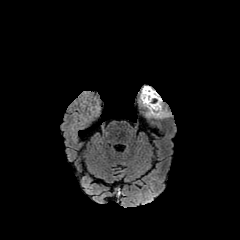
FLAIR MR image.
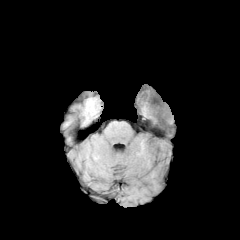
T1-weighted MR.
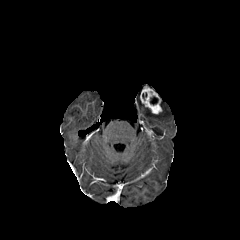
Post-contrast T1-weighted MRI.
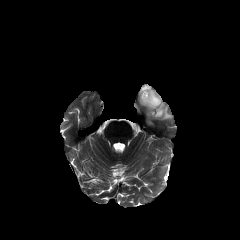
T2-weighted MRI.
Head | Axial plane
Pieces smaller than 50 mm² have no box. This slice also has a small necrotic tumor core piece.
{
  "peritumoral_edema": [
    "rect(138, 96, 172, 119)"
  ],
  "enhancing_tumor": [
    "rect(140, 86, 162, 114)"
  ]
}